Axial slice. Image covers 240 mm x 240 mm. Head. Image size 240x240. Slice 45 of 155.
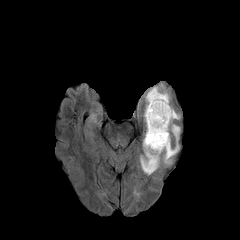
FLAIR MRI.
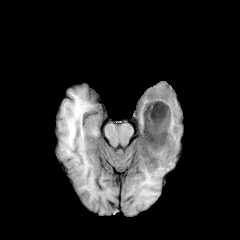
T1-weighted MR.
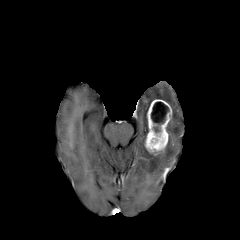
Post-contrast T1-weighted magnetic resonance of the same slice.
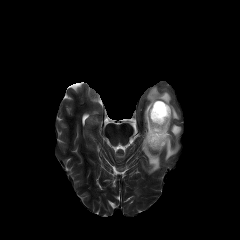
Same slice, T2-weighted MR image.
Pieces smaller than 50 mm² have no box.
enhancing tumor: region(144, 99, 172, 152) | necrotic tumor core: region(151, 102, 168, 124) | peritumoral edema: region(140, 84, 180, 174)